Axial plane | 240x240
FLAIR MR image.
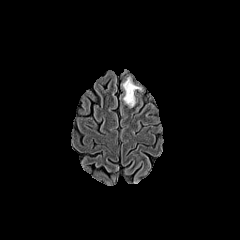
T1-weighted magnetic resonance.
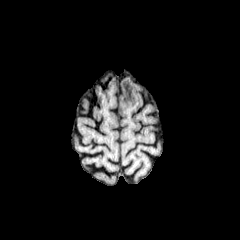
Post-contrast T1-weighted MR.
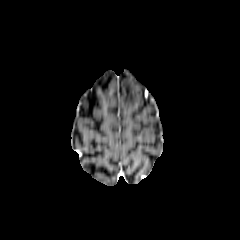
T2-weighted MRI.
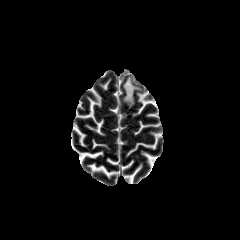
{"peritumoral_edema": ["bbox(123, 77, 141, 106)"]}